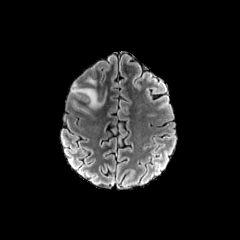
FLAIR MRI.
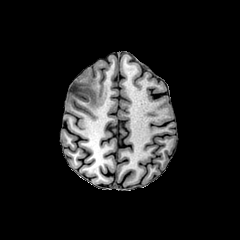
Same slice, T1-weighted MRI.
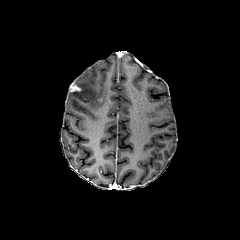
Post-contrast T1-weighted magnetic resonance of the same slice.
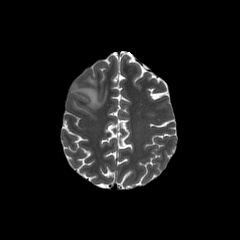
T2-weighted MR image.
Brain
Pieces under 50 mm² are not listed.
Findings:
* enhancing tumor: (x1=70, y1=83, x2=80, y2=91)
* peritumoral edema: (x1=71, y1=87, x2=103, y2=108)